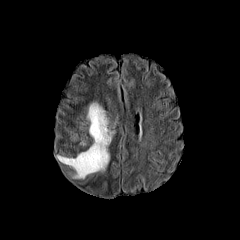
FLAIR MR image.
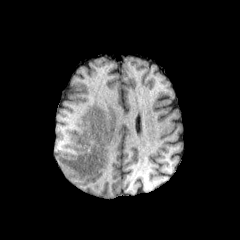
T1-weighted MR.
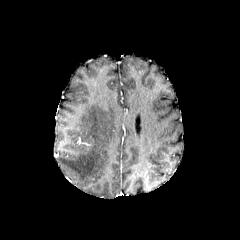
Same slice, post-contrast T1-weighted MR image.
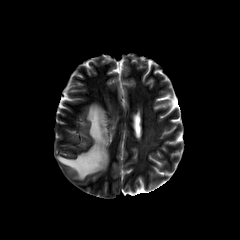
Same slice, T2-weighted MRI.
Brain
peritumoral_edema:
  - {"x1": 56, "y1": 100, "x2": 116, "y2": 179}